FLAIR MR image.
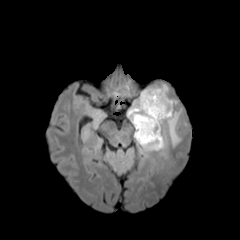
T1-weighted MR image.
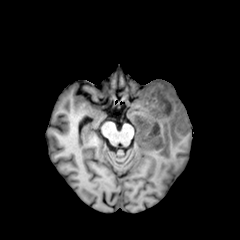
Post-contrast T1-weighted magnetic resonance.
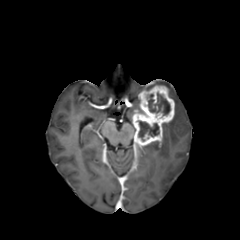
T2-weighted MR image.
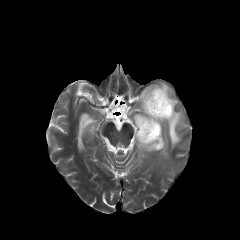
Head
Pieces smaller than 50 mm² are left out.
peritumoral edema — 127, 99, 142, 120; 136, 109, 186, 155
enhancing tumor — 132, 85, 174, 148
necrotic tumor core — 148, 93, 170, 114; 138, 121, 159, 140